Image size 240x240, Brain
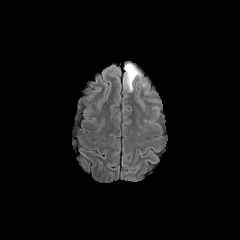
FLAIR MRI.
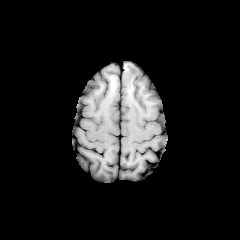
T1-weighted MRI.
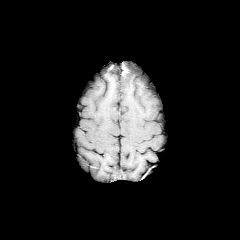
Same slice, post-contrast T1-weighted MRI.
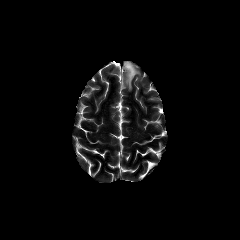
T2-weighted MR image of the same slice.
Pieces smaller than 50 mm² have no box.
peritumoral edema = rect(123, 62, 141, 91)